FLAIR MRI.
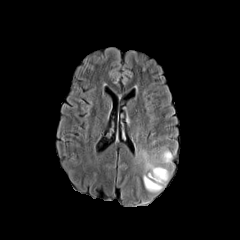
T1-weighted magnetic resonance.
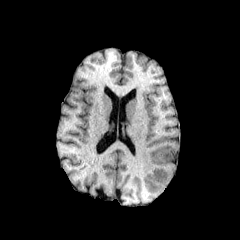
Post-contrast T1-weighted MR.
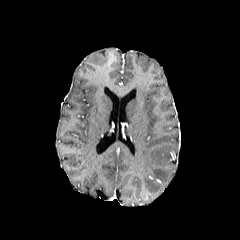
T2-weighted MRI.
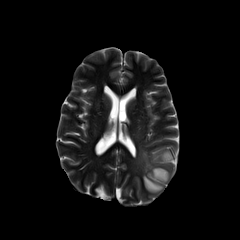
Axial slice. Head. 240x240 px.
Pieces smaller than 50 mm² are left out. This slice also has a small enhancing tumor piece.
peritumoral edema — [x1=136, y1=147, x2=176, y2=193]